FLAIR MRI.
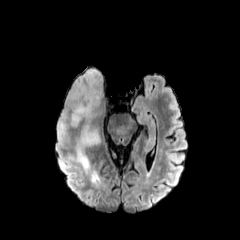
T1-weighted MRI.
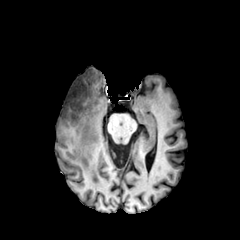
Post-contrast T1-weighted MR.
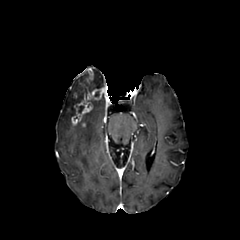
T2-weighted MR.
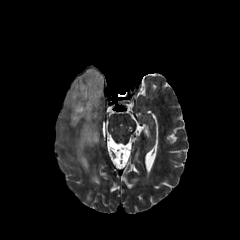
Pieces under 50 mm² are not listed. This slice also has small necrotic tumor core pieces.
The 3 largest peritumoral edema regions are located at x1=72 y1=100 x2=100 y2=169, x1=58 y1=73 x2=84 y2=138, x1=92 y1=68 x2=103 y2=87. The largest enhancing tumor region is located at x1=71 y1=68 x2=104 y2=126.